Image size 240x240. Head. Axial view.
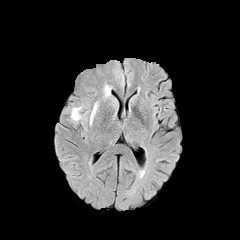
FLAIR magnetic resonance.
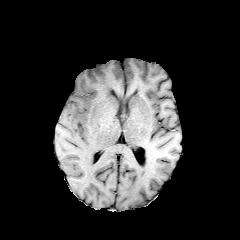
T1-weighted magnetic resonance of the same slice.
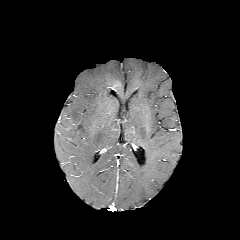
Same slice, post-contrast T1-weighted MR.
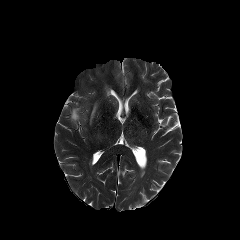
T2-weighted magnetic resonance.
peritumoral_edema:
  - [71, 107, 82, 121]
  - [104, 85, 110, 97]
  - [90, 102, 97, 124]